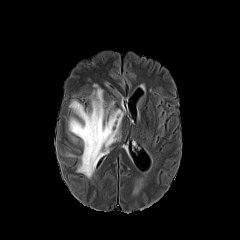
FLAIR MR image.
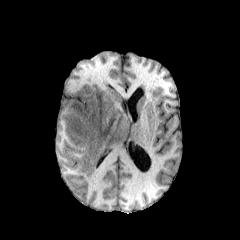
T1-weighted magnetic resonance of the same slice.
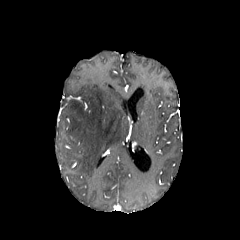
Post-contrast T1-weighted MRI.
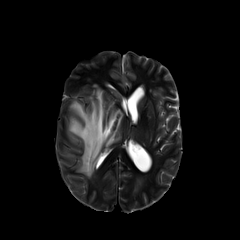
Same slice, T2-weighted magnetic resonance.
Head | Axial view
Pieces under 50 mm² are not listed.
peritumoral edema — 68, 84, 123, 178; 132, 178, 143, 195